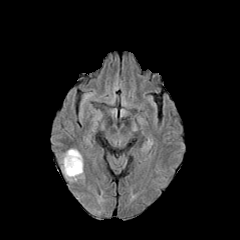
FLAIR MR.
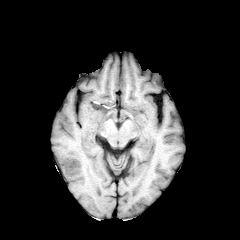
T1-weighted MR image.
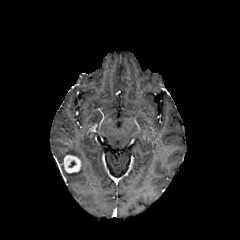
Same slice, post-contrast T1-weighted MRI.
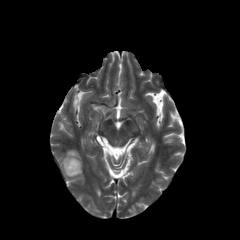
T2-weighted MR.
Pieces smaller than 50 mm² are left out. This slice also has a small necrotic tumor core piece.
enhancing tumor = {"x1": 63, "y1": 155, "x2": 80, "y2": 172}
peritumoral edema = {"x1": 59, "y1": 149, "x2": 84, "y2": 182}